Image size 240x240; Axial view; Brain
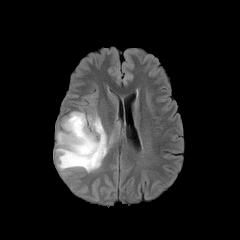
FLAIR MRI.
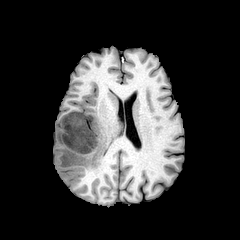
T1-weighted MR image.
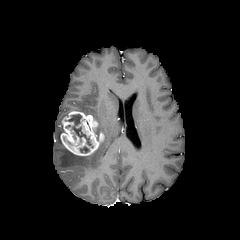
Post-contrast T1-weighted MRI of the same slice.
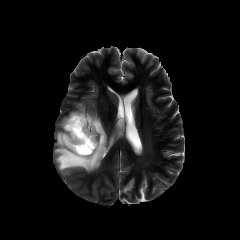
T2-weighted MR image.
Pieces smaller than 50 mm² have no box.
<segmentation>
  <peritumoral_edema>[55,114,112,172]</peritumoral_edema>
  <necrotic_tumor_core>[68,114,92,147]</necrotic_tumor_core>
  <enhancing_tumor>[60,111,104,156]</enhancing_tumor>
</segmentation>